FLAIR MR image.
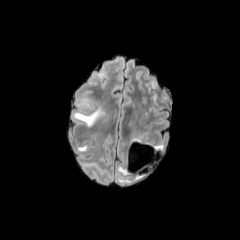
T1-weighted MR image.
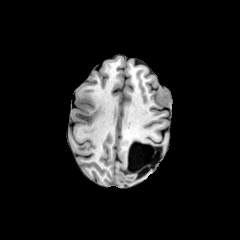
Post-contrast T1-weighted MRI.
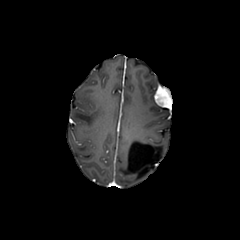
T2-weighted MRI.
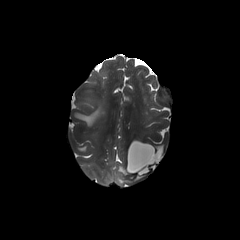
Brain; Axial slice
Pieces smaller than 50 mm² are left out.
peritumoral_edema:
  - [73, 108, 103, 126]
  - [77, 98, 91, 107]